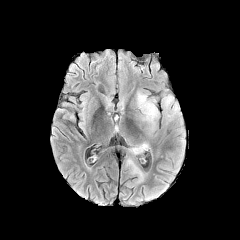
FLAIR MRI.
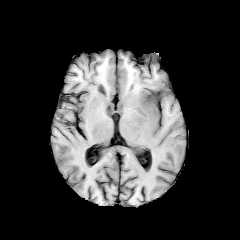
T1-weighted magnetic resonance.
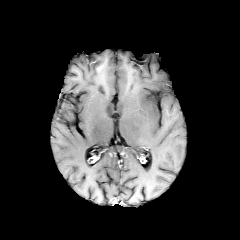
Same slice, post-contrast T1-weighted magnetic resonance.
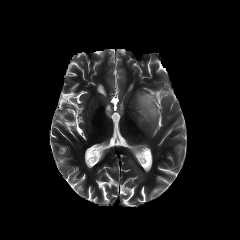
T2-weighted magnetic resonance.
Axial slice
- peritumoral edema: [134, 91, 158, 134]